Slice index 78, Image covers 240 mm x 240 mm, Head
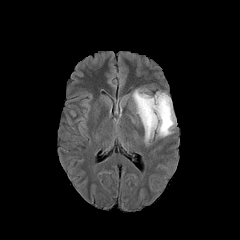
FLAIR MR.
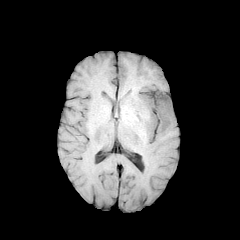
Same slice, T1-weighted MR.
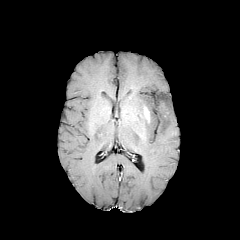
Post-contrast T1-weighted MRI of the same slice.
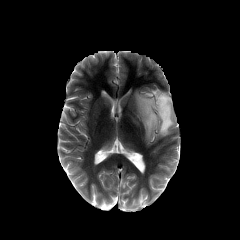
T2-weighted MR image.
peritumoral edema: x1=133 y1=90 x2=176 y2=142 | enhancing tumor: x1=144 y1=106 x2=149 y2=121